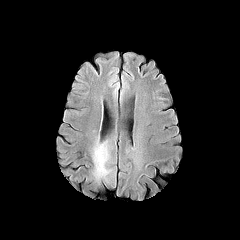
FLAIR MR image.
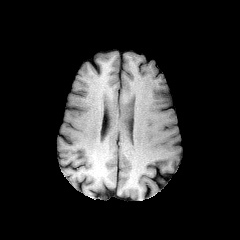
T1-weighted MRI.
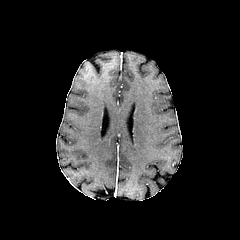
Same slice, post-contrast T1-weighted MR image.
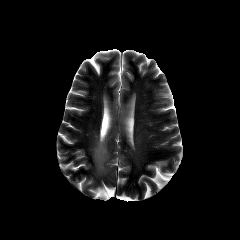
T2-weighted MR image.
peritumoral_edema:
  - 93 145 107 176